Image width 240 mm. Brain. Slice 88 of 155.
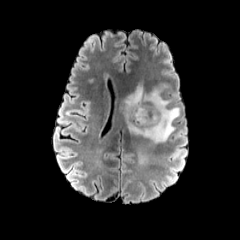
FLAIR MR.
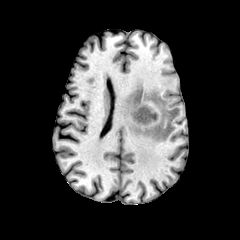
T1-weighted MR image.
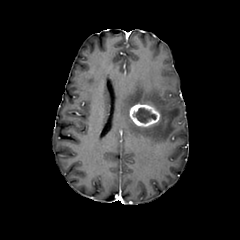
Post-contrast T1-weighted MR image of the same slice.
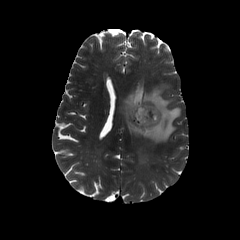
Same slice, T2-weighted magnetic resonance.
The enhancing tumor is located at (left=129, top=104, right=160, bottom=126). The necrotic tumor core is bounded by (left=134, top=108, right=156, bottom=123). The peritumoral edema is located at (left=123, top=84, right=180, bottom=142).